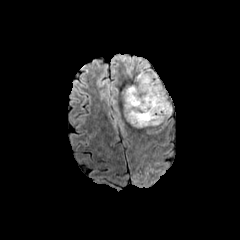
FLAIR MR image.
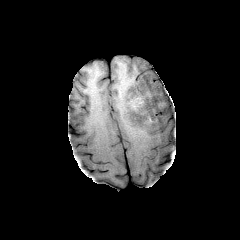
T1-weighted MR image.
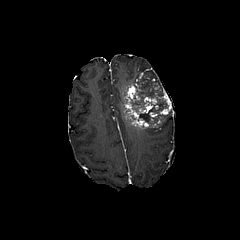
Post-contrast T1-weighted magnetic resonance.
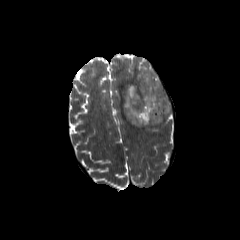
T2-weighted MRI of the same slice.
Axial slice; Head
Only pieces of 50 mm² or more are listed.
peritumoral_edema:
  - x1=140, y1=68, x2=157, y2=77
necrotic_tumor_core:
  - x1=139, y1=97, x2=167, y2=123
  - x1=130, y1=76, x2=163, y2=112
enhancing_tumor:
  - x1=122, y1=71, x2=174, y2=130